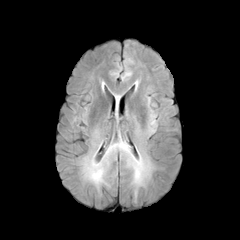
FLAIR magnetic resonance.
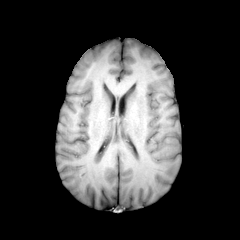
T1-weighted MR.
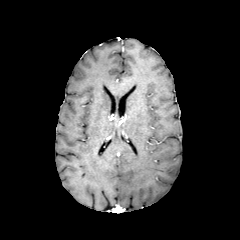
Same slice, post-contrast T1-weighted MR image.
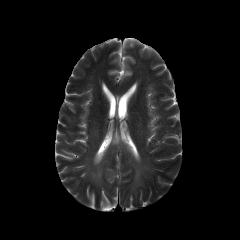
Same slice, T2-weighted MR image.
Axial view
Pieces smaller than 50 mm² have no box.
peritumoral_edema:
  - 86,160,103,183
  - 106,140,150,193